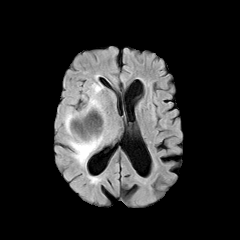
FLAIR MR image.
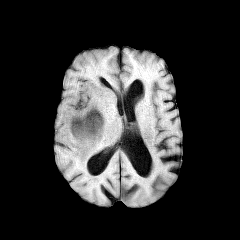
T1-weighted MR image.
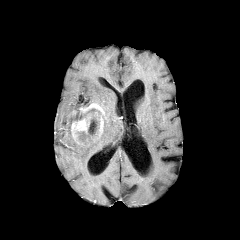
Same slice, post-contrast T1-weighted MR.
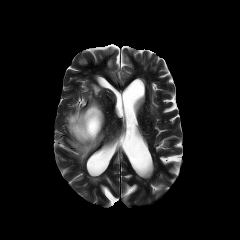
T2-weighted magnetic resonance.
Image size 240x240 | Brain
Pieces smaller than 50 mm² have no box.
The 2 largest necrotic tumor core regions are bounded by [79, 118, 98, 137], [71, 110, 83, 124]. The largest enhancing tumor region is bounded by [71, 103, 103, 140]. The 2 largest peritumoral edema regions are bounded by [64, 108, 108, 164], [85, 83, 103, 108].